Axial slice | Image covers 240 mm x 240 mm
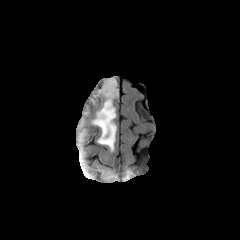
FLAIR MRI.
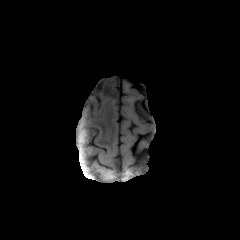
T1-weighted magnetic resonance.
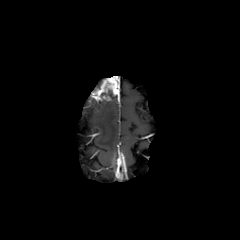
Post-contrast T1-weighted MR.
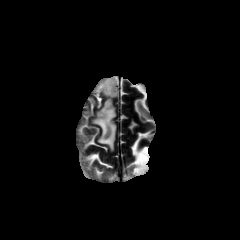
T2-weighted MRI of the same slice.
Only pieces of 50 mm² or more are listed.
The largest peritumoral edema region is located at {"x1": 90, "y1": 97, "x2": 117, "y2": 152}. The enhancing tumor is at {"x1": 91, "y1": 76, "x2": 119, "y2": 102}.